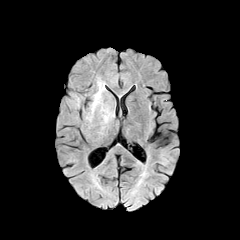
FLAIR MR image.
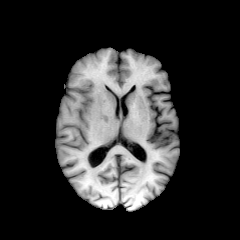
Same slice, T1-weighted MRI.
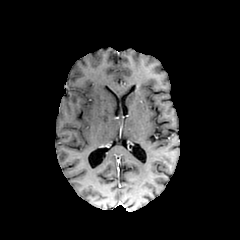
Post-contrast T1-weighted MR image.
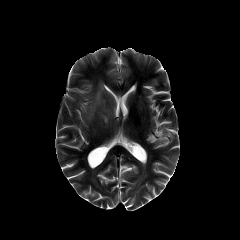
T2-weighted MRI of the same slice.
Axial slice, 240x240, Head
peritumoral edema = {"x1": 91, "y1": 81, "x2": 113, "y2": 123}